Brain | Image width 240 mm, 1.00 mm slice spacing | Axial slice
FLAIR MR.
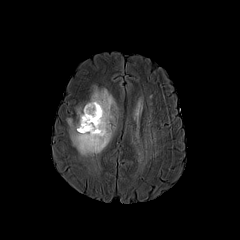
T1-weighted MR image.
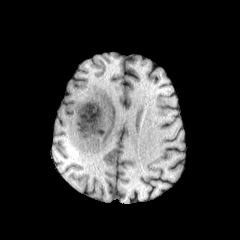
Post-contrast T1-weighted MRI.
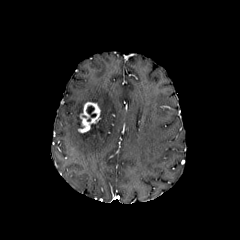
T2-weighted MRI.
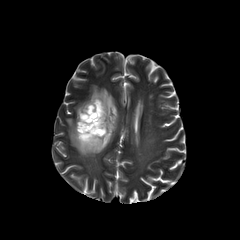
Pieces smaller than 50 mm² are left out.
The largest necrotic tumor core region lies within x1=86 y1=106 x2=96 y2=117. The peritumoral edema is bounded by x1=67 y1=86 x2=117 y2=156. The enhancing tumor appears at x1=78 y1=102 x2=100 y2=132.